Brain | Slice index 52
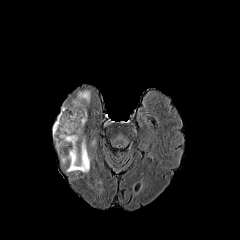
FLAIR MRI.
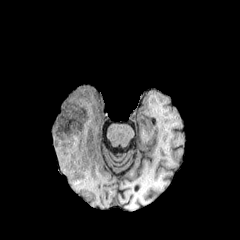
T1-weighted MRI.
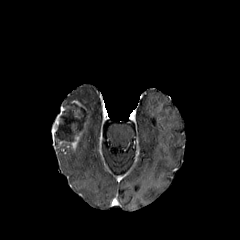
Same slice, post-contrast T1-weighted MR.
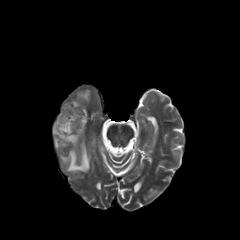
T2-weighted MR.
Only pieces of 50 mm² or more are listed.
The 2 largest peritumoral edema regions are located at (left=60, top=139, right=90, bottom=172), (left=75, top=91, right=89, bottom=104). The largest enhancing tumor region is bounded by (left=52, top=106, right=80, bottom=150). The largest necrotic tumor core region is at (left=54, top=102, right=87, bottom=142).